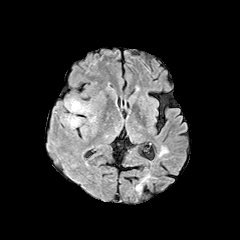
FLAIR MRI.
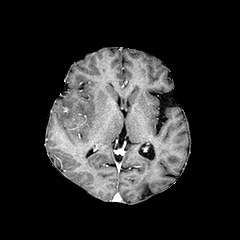
Same slice, T1-weighted MR.
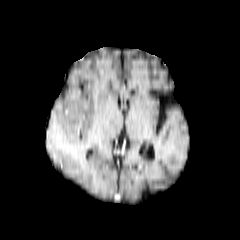
Same slice, post-contrast T1-weighted MR.
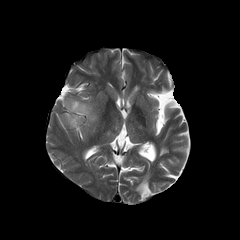
T2-weighted MR image.
Head; Axial view
peritumoral edema: bounding box rect(61, 97, 96, 129)